FLAIR MR image.
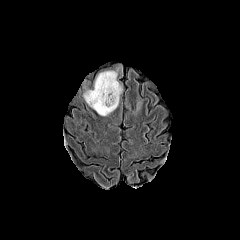
T1-weighted MRI.
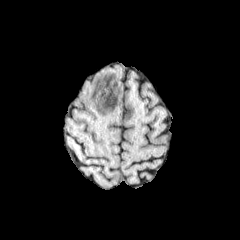
Post-contrast T1-weighted magnetic resonance.
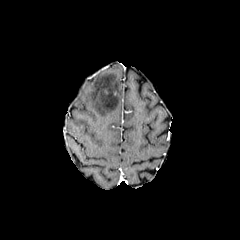
T2-weighted magnetic resonance.
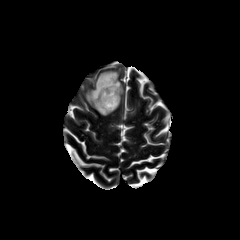
peritumoral edema at [84, 71, 121, 116]